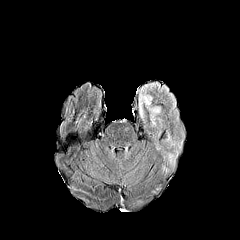
FLAIR MR.
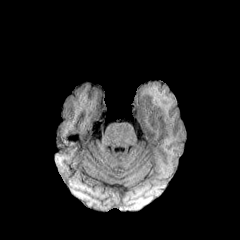
T1-weighted MR.
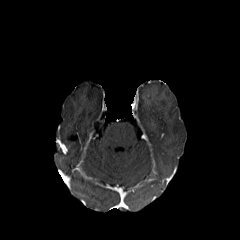
Same slice, post-contrast T1-weighted MR.
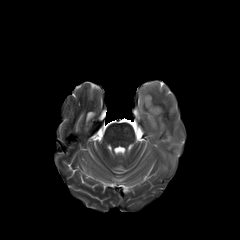
Same slice, T2-weighted magnetic resonance.
240x240 px | Head | Axial view
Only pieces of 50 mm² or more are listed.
peritumoral edema: 166 136 181 155, 166 153 175 163, 138 85 160 125